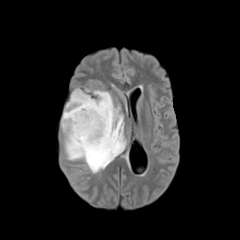
FLAIR MR.
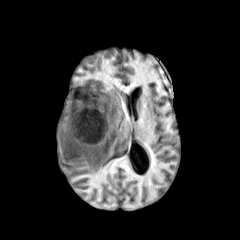
T1-weighted MRI of the same slice.
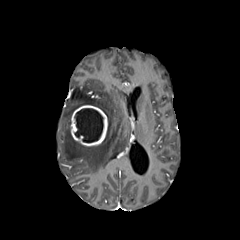
Post-contrast T1-weighted MR image of the same slice.
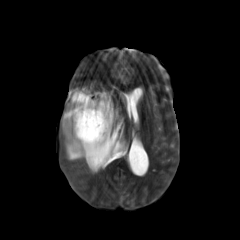
T2-weighted MRI.
Head
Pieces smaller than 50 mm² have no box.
Segmented structures:
- peritumoral edema: (x1=61, y1=89, x2=125, y2=173)
- enhancing tumor: (x1=71, y1=105, x2=107, y2=146)
- necrotic tumor core: (x1=74, y1=108, x2=103, y2=142)